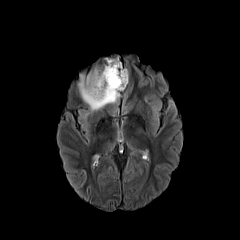
FLAIR MRI.
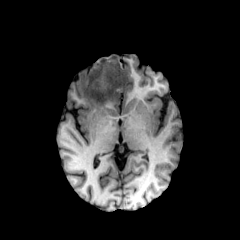
Same slice, T1-weighted MRI.
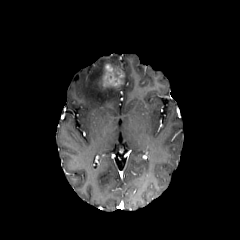
Post-contrast T1-weighted MR.
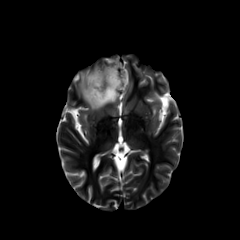
Same slice, T2-weighted MR image.
Brain. Axial plane.
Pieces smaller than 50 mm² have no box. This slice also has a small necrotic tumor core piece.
<segmentation>
  <peritumoral_edema>box=[78, 57, 128, 112]</peritumoral_edema>
  <enhancing_tumor>box=[101, 64, 124, 88]</enhancing_tumor>
</segmentation>